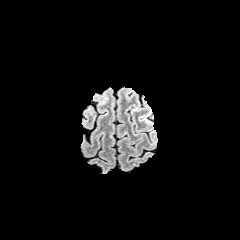
FLAIR magnetic resonance.
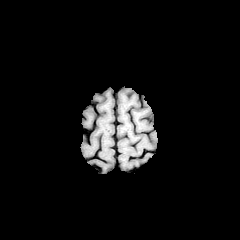
T1-weighted magnetic resonance of the same slice.
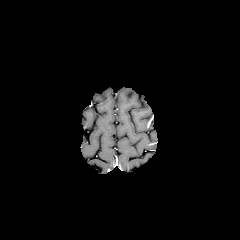
Same slice, post-contrast T1-weighted MR image.
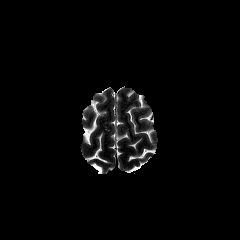
T2-weighted magnetic resonance.
Head.
The peritumoral edema is located at rect(139, 109, 153, 124).